FLAIR magnetic resonance.
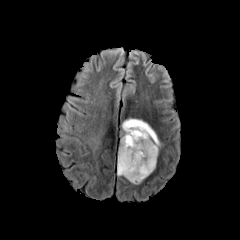
T1-weighted MRI.
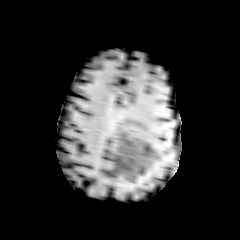
Post-contrast T1-weighted MRI.
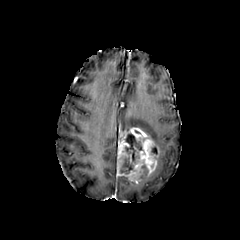
T2-weighted magnetic resonance.
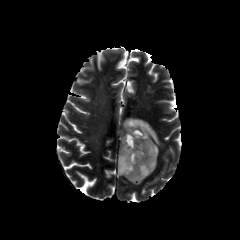
Head, Axial plane
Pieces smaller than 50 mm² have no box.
necrotic tumor core: l=120, t=158, r=132, b=173; l=125, t=134, r=142, b=162 | peritumoral edema: l=122, t=118, r=161, b=148 | enhancing tumor: l=117, t=127, r=159, b=183